Head
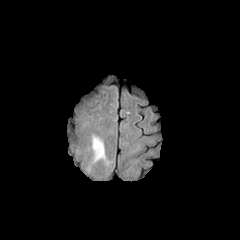
FLAIR MR.
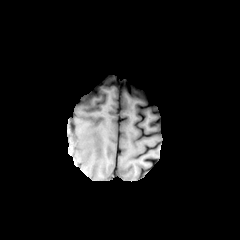
T1-weighted magnetic resonance.
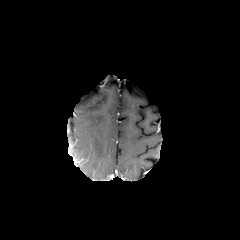
Post-contrast T1-weighted MR image of the same slice.
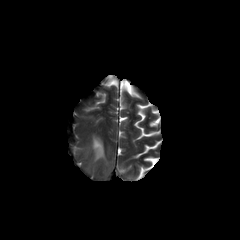
T2-weighted MR image.
<segmentation>
  <peritumoral_edema>bbox=[86, 135, 108, 171]</peritumoral_edema>
</segmentation>